Image width 240 mm; 240x240 px; Head
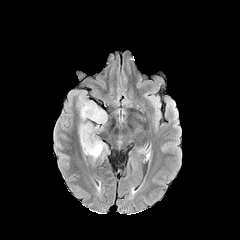
FLAIR MR.
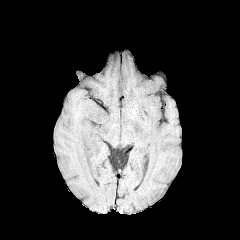
T1-weighted MRI of the same slice.
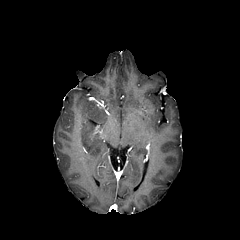
Post-contrast T1-weighted magnetic resonance of the same slice.
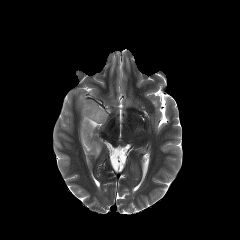
T2-weighted magnetic resonance of the same slice.
peritumoral edema: 77:91:107:161